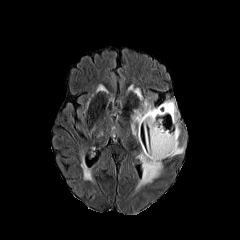
FLAIR MRI.
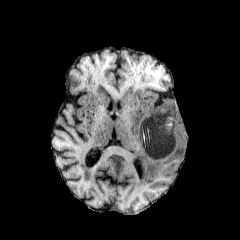
Same slice, T1-weighted MRI.
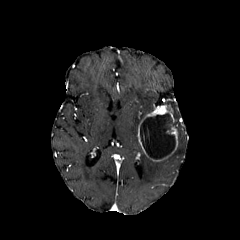
Post-contrast T1-weighted MR.
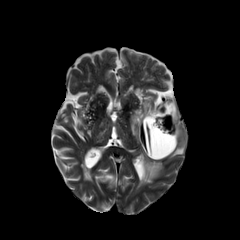
T2-weighted MR.
Brain; 240x240
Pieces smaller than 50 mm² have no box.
enhancing tumor — (x1=137, y1=104, x2=178, y2=161)
necrotic tumor core — (x1=140, y1=113, x2=175, y2=159)
peritumoral edema — (x1=131, y1=88, x2=156, y2=137), (x1=137, y1=152, x2=162, y2=188), (x1=161, y1=100, x2=185, y2=157)